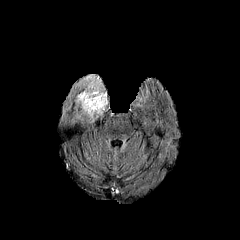
FLAIR magnetic resonance.
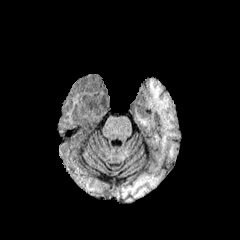
T1-weighted MRI.
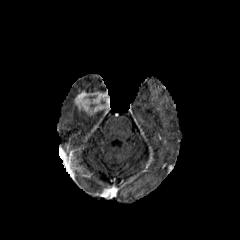
Same slice, post-contrast T1-weighted MR image.
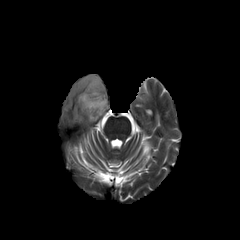
T2-weighted MR image.
Brain.
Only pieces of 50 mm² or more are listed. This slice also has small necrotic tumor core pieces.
Findings:
* peritumoral edema: bbox=[77, 74, 104, 92]
* enhancing tumor: bbox=[74, 90, 109, 115]